FLAIR MR.
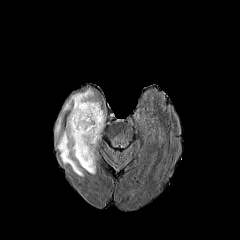
T1-weighted magnetic resonance.
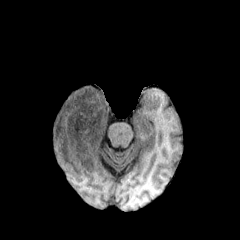
Post-contrast T1-weighted MR.
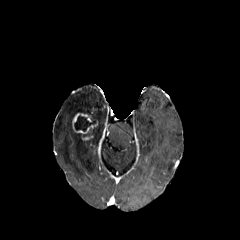
T2-weighted magnetic resonance.
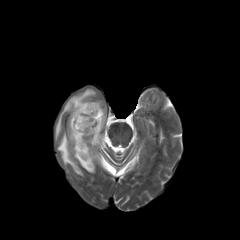
Head
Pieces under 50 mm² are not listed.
<segmentation>
  <enhancing_tumor>(left=72, top=113, right=97, bottom=133)</enhancing_tumor>
  <necrotic_tumor_core>(left=74, top=115, right=95, bottom=131)</necrotic_tumor_core>
  <peritumoral_edema>(left=55, top=116, right=61, bottom=137), (left=57, top=88, right=105, bottom=175)</peritumoral_edema>
</segmentation>